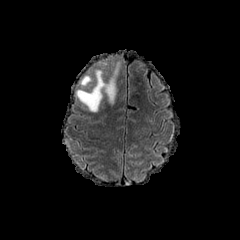
FLAIR MRI.
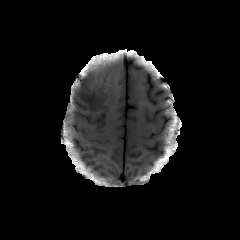
T1-weighted magnetic resonance.
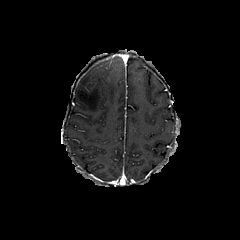
Post-contrast T1-weighted magnetic resonance of the same slice.
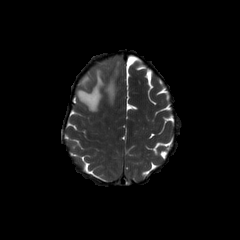
T2-weighted MRI.
240x240. Axial view. Head.
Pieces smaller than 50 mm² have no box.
<segmentation>
  <peritumoral_edema>(left=80, top=75, right=90, bottom=85), (left=76, top=63, right=118, bottom=111)</peritumoral_edema>
</segmentation>